FLAIR magnetic resonance.
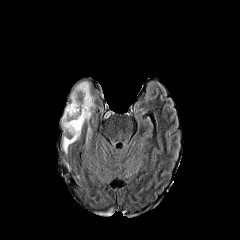
T1-weighted MR.
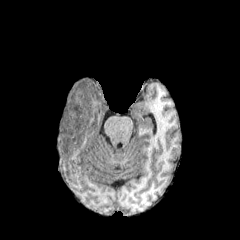
Post-contrast T1-weighted magnetic resonance.
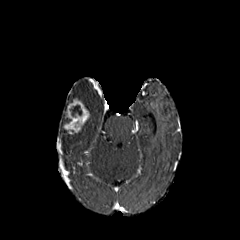
T2-weighted MR.
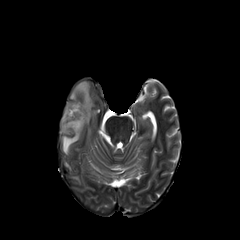
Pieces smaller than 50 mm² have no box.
enhancing tumor: x1=63, y1=98, x2=89, y2=134 | necrotic tumor core: x1=70, y1=105, x2=81, y2=116 | peritumoral edema: x1=62, y1=131, x2=80, y2=152; x1=70, y1=81, x2=94, y2=117